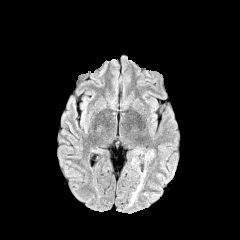
FLAIR magnetic resonance.
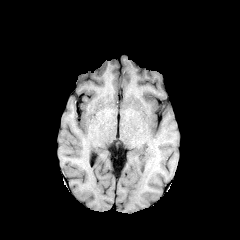
T1-weighted MRI.
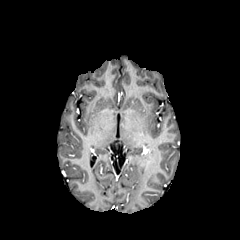
Post-contrast T1-weighted MRI.
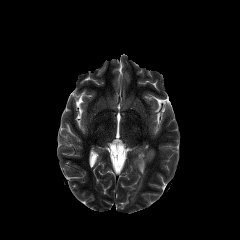
T2-weighted MR of the same slice.
{"peritumoral_edema": ["bbox=[131, 172, 144, 202]", "bbox=[145, 150, 153, 160]"]}